FLAIR MRI.
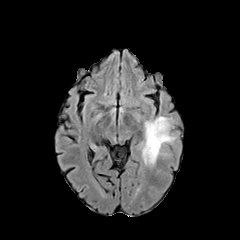
T1-weighted MR image.
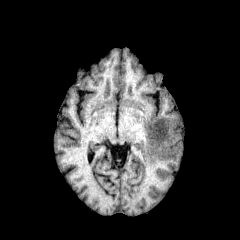
Post-contrast T1-weighted MR image.
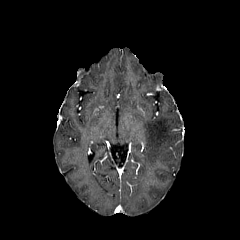
T2-weighted magnetic resonance.
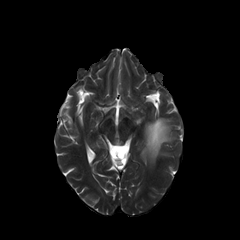
Image size 240x240. Axial plane.
Findings:
- peritumoral edema: rect(142, 117, 176, 164)